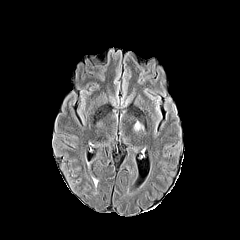
FLAIR magnetic resonance.
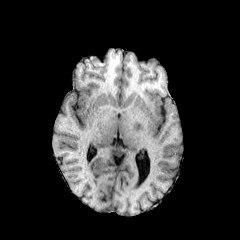
T1-weighted MR image of the same slice.
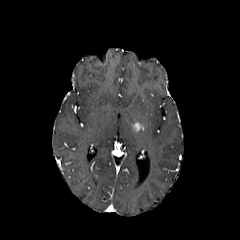
Post-contrast T1-weighted MR image of the same slice.
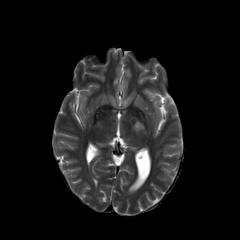
T2-weighted MR image.
Segmented structures:
* enhancing tumor: [x1=133, y1=122, x2=143, y2=131]